Slice 80/155
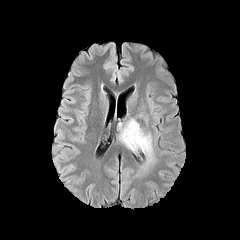
FLAIR MR.
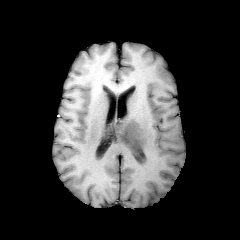
Same slice, T1-weighted magnetic resonance.
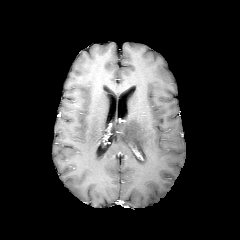
Post-contrast T1-weighted MR image.
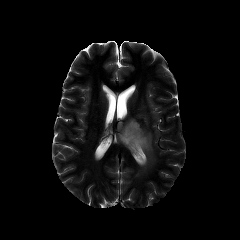
T2-weighted MRI.
* peritumoral edema: {"x1": 118, "y1": 118, "x2": 154, "y2": 167}